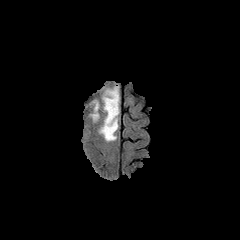
FLAIR MRI.
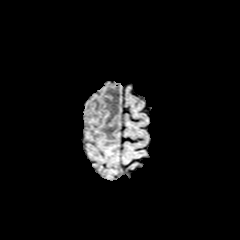
T1-weighted MRI.
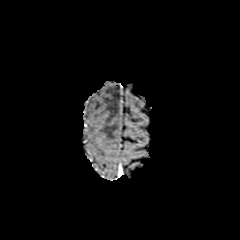
Post-contrast T1-weighted MRI.
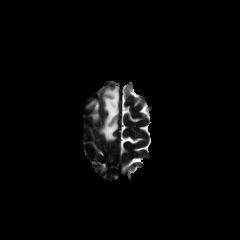
Same slice, T2-weighted magnetic resonance.
Axial view
2 peritumoral edema regions are bounded by 99, 86, 119, 141; 92, 102, 98, 120.